FLAIR MRI.
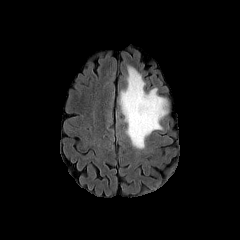
T1-weighted MRI.
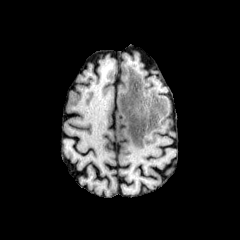
Post-contrast T1-weighted MR.
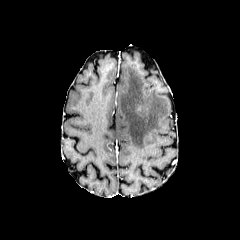
T2-weighted MRI.
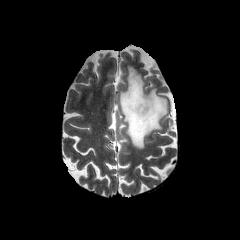
Head; Image size 240x240; Axial plane
peritumoral edema: [119,66,167,148]